FLAIR MR.
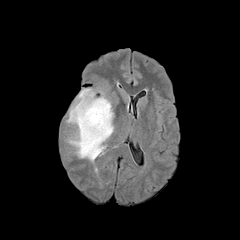
T1-weighted MRI.
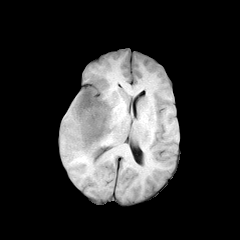
Post-contrast T1-weighted MR image.
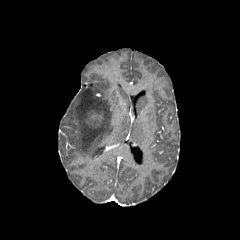
T2-weighted MR image.
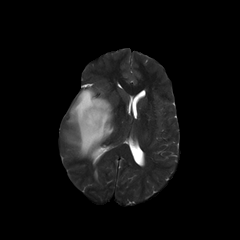
Brain.
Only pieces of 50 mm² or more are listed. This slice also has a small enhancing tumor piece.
peritumoral edema: bounding box [x1=67, y1=88, x2=113, y2=160]